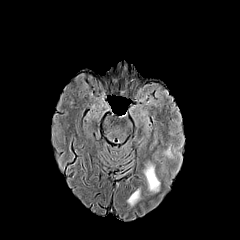
FLAIR MRI.
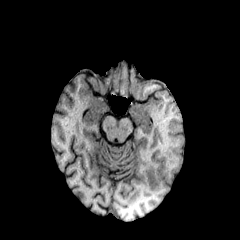
T1-weighted MR.
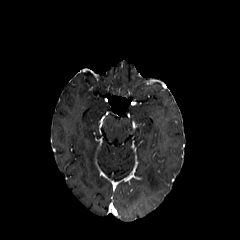
Post-contrast T1-weighted MRI.
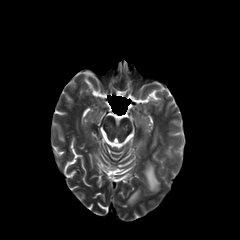
T2-weighted MRI of the same slice.
Axial slice | Brain
peritumoral edema: [164,146,171,156], [127,189,140,205], [144,162,159,191]